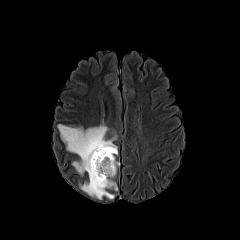
FLAIR magnetic resonance.
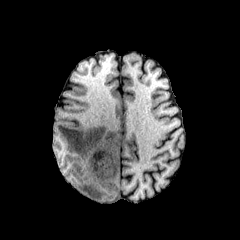
Same slice, T1-weighted magnetic resonance.
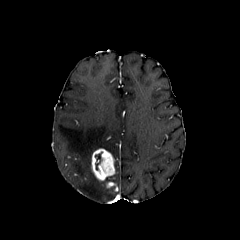
Same slice, post-contrast T1-weighted magnetic resonance.
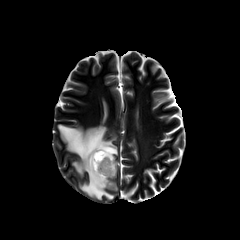
T2-weighted magnetic resonance of the same slice.
Axial view
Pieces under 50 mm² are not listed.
necrotic tumor core: <box>95,154,100,169</box>
enhancing tumor: <box>106,181,117,190</box>, <box>91,148,115,181</box>
peritumoral edema: <box>57,124,117,199</box>